FLAIR MR.
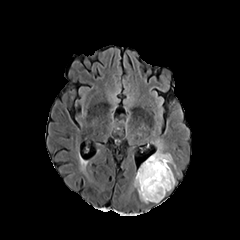
T1-weighted magnetic resonance.
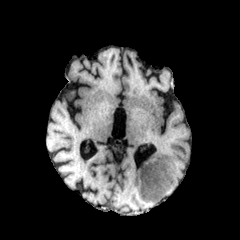
Post-contrast T1-weighted MR image.
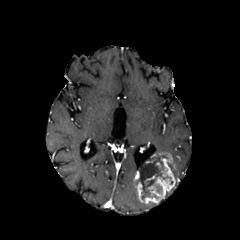
T2-weighted magnetic resonance.
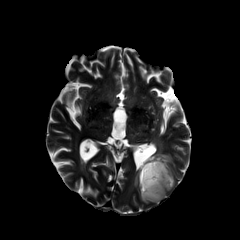
Axial slice
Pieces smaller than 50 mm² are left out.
enhancing tumor: 134 153 175 203 | peritumoral edema: 155 139 163 154 | necrotic tumor core: 138 157 162 199